Head; 240x240; Slice 140 of 155
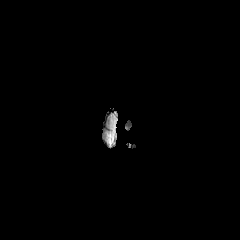
FLAIR MR.
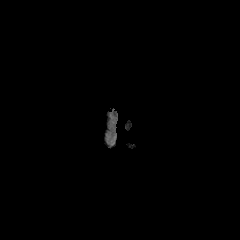
Same slice, T1-weighted MRI.
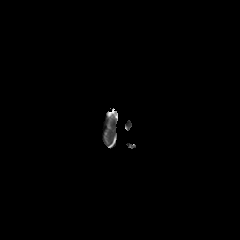
Same slice, post-contrast T1-weighted magnetic resonance.
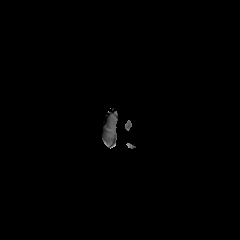
Same slice, T2-weighted MR image.
The peritumoral edema is located at (107,120,115,144).